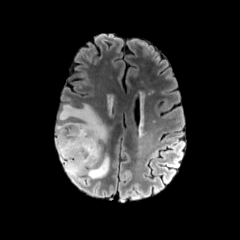
FLAIR MR.
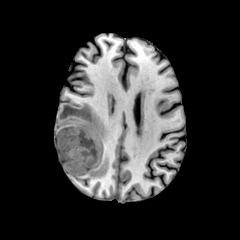
Same slice, T1-weighted MR image.
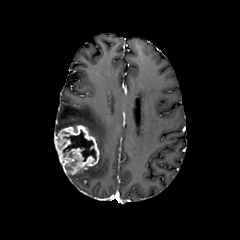
Post-contrast T1-weighted MR image.
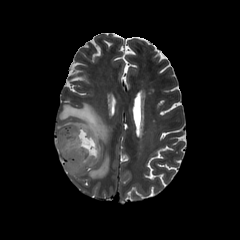
T2-weighted MR of the same slice.
Image size 240x240, Head
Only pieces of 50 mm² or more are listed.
Annotated regions:
- enhancing tumor: (x1=54, y1=124, x2=99, y2=174)
- peritumoral edema: (x1=55, y1=103, x2=109, y2=179)
- necrotic tumor core: (x1=63, y1=130, x2=96, y2=161)